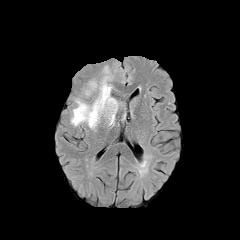
FLAIR MR image.
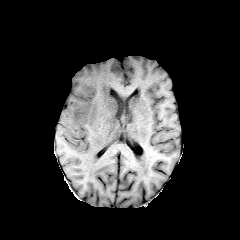
Same slice, T1-weighted MR image.
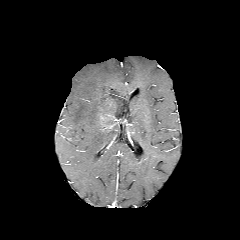
Post-contrast T1-weighted magnetic resonance.
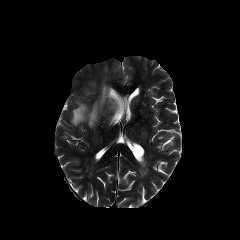
T2-weighted MRI of the same slice.
Axial slice, Brain
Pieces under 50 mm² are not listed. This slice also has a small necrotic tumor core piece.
* peritumoral edema: (left=70, top=66, right=119, bottom=129)
* enhancing tumor: (left=101, top=116, right=116, bottom=128)